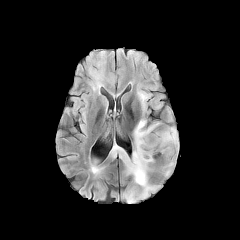
FLAIR MR image.
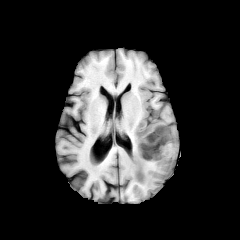
T1-weighted magnetic resonance.
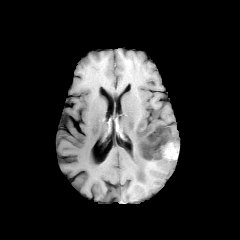
Same slice, post-contrast T1-weighted MRI.
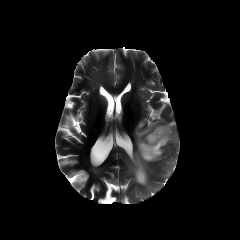
Same slice, T2-weighted MR image.
Head; Axial plane
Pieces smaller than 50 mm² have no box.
The enhancing tumor is located at [141,128,177,160]. The 2 largest peritumoral edema regions are located at [164,159,175,176], [120,119,178,197]. The necrotic tumor core appears at [142,129,171,158].